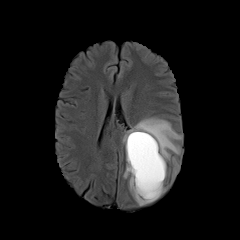
FLAIR magnetic resonance.
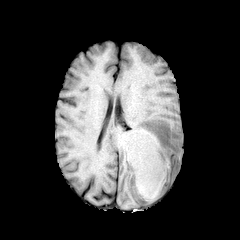
T1-weighted magnetic resonance.
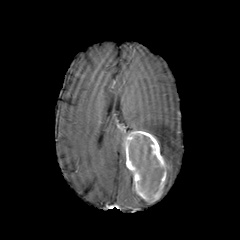
Same slice, post-contrast T1-weighted MR.
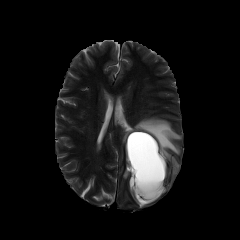
T2-weighted magnetic resonance.
Axial view | Head
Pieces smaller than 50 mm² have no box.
enhancing tumor at [x1=125, y1=131, x2=166, y2=202]
peritumoral edema at [x1=123, y1=166, x2=150, y2=205], [x1=122, y1=117, x2=182, y2=176]
necrotic tumor core at [x1=129, y1=135, x2=163, y2=196]